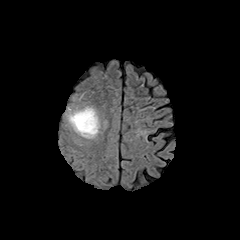
FLAIR MRI.
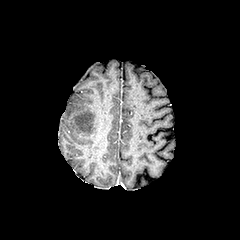
T1-weighted MR image.
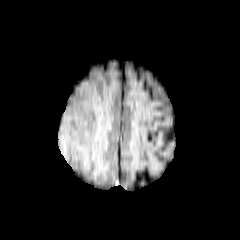
Post-contrast T1-weighted magnetic resonance of the same slice.
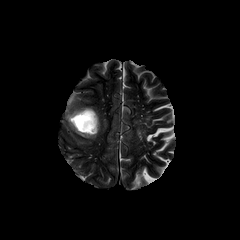
T2-weighted MR.
Axial plane
necrotic_tumor_core:
  - (71,111,94,133)
peritumoral_edema:
  - (65,106,100,138)